Slice 108 of 155. Brain.
FLAIR MR.
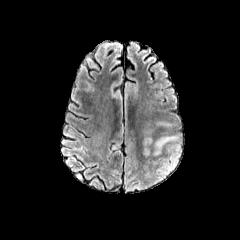
T1-weighted MR image.
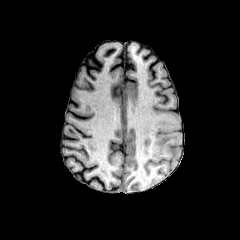
Post-contrast T1-weighted MR image.
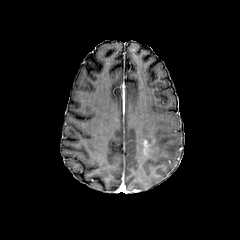
T2-weighted magnetic resonance.
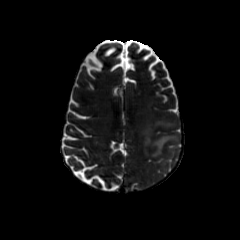
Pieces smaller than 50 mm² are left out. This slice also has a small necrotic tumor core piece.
peritumoral edema: 155,121,172,127; 145,128,153,136; 148,134,180,167 | enhancing tumor: 142,136,154,155